FLAIR MR image.
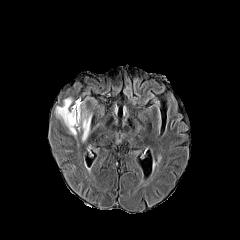
T1-weighted MR.
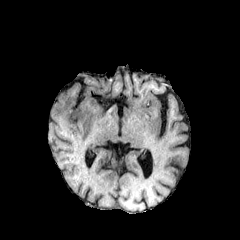
Post-contrast T1-weighted MRI.
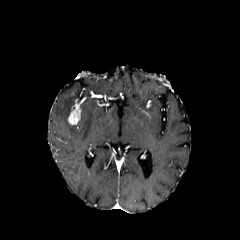
T2-weighted MR.
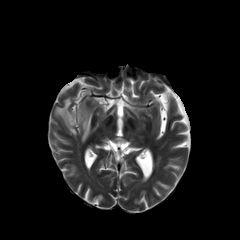
Head
enhancing tumor = (x1=68, y1=101, x2=81, y2=125)
peritumoral edema = (x1=55, y1=97, x2=92, y2=142)